Axial view | Head | Slice index 99
FLAIR MR.
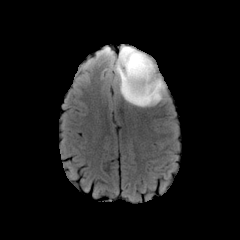
T1-weighted MR image.
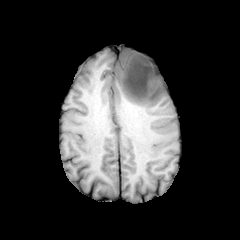
Post-contrast T1-weighted magnetic resonance.
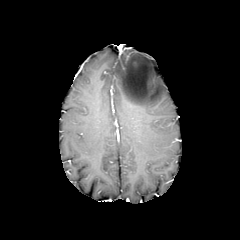
T2-weighted MR.
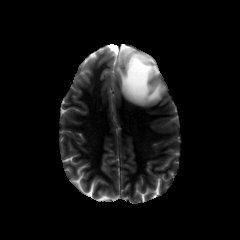
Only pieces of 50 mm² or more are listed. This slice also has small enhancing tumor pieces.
The largest peritumoral edema region is bounded by l=114, t=48, r=165, b=106.